Brain, Image width 240 mm, 240x240
FLAIR MR image.
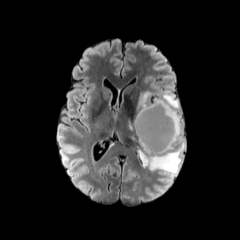
T1-weighted MRI.
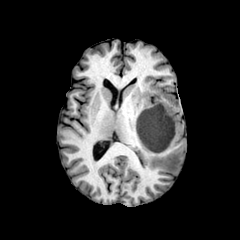
Post-contrast T1-weighted MR.
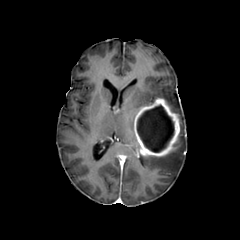
T2-weighted MR.
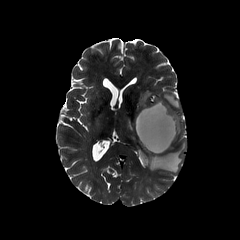
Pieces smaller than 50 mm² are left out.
<segmentation>
  <necrotic_tumor_core>(left=137, top=105, right=174, bottom=152)</necrotic_tumor_core>
  <peritumoral_edema>(left=139, top=90, right=185, bottom=174), (left=137, top=91, right=152, bottom=111)</peritumoral_edema>
  <enhancing_tumor>(left=134, top=98, right=180, bottom=156)</enhancing_tumor>
</segmentation>